FLAIR MR image.
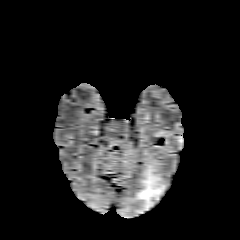
T1-weighted MRI.
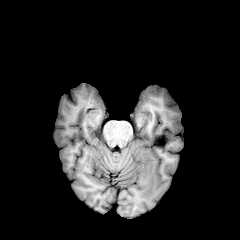
Post-contrast T1-weighted MRI.
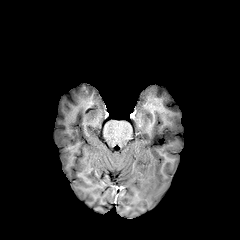
T2-weighted MR image.
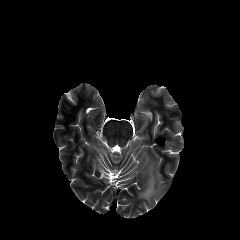
peritumoral_edema:
  - [136,161,165,209]